Axial view, Brain, Slice 61 of 155
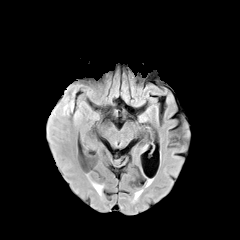
FLAIR MR image.
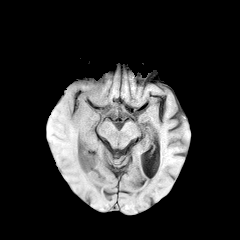
T1-weighted magnetic resonance.
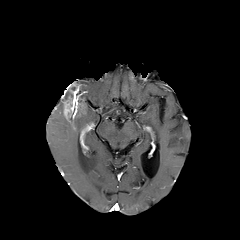
Post-contrast T1-weighted magnetic resonance.
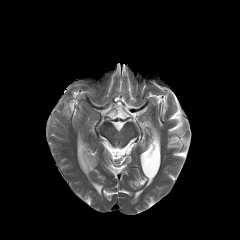
T2-weighted MRI of the same slice.
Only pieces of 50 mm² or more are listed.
Annotated regions:
* enhancing tumor: <box>64,91,82,116</box>
* peritumoral edema: <box>73,106,82,117</box>